240x240, Image width 240 mm
FLAIR MR.
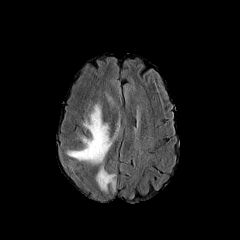
T1-weighted MR image.
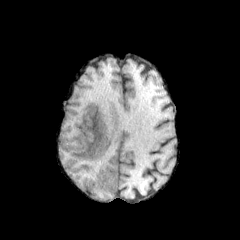
Post-contrast T1-weighted magnetic resonance.
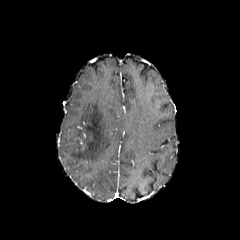
T2-weighted MR.
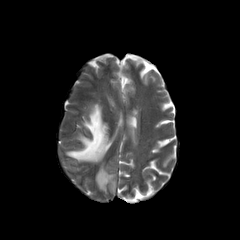
peritumoral edema at <bbox>95, 165, 116, 193</bbox>, <bbox>66, 104, 121, 165</bbox>